Slice index 62 | Image size 240x240
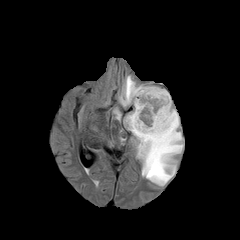
FLAIR MR.
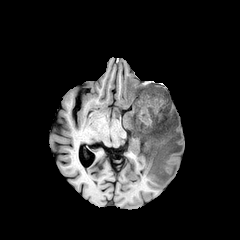
T1-weighted MR image of the same slice.
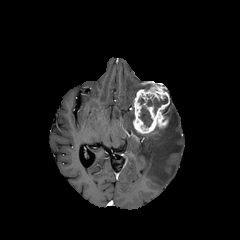
Post-contrast T1-weighted magnetic resonance of the same slice.
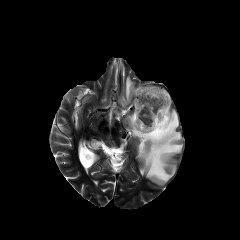
T2-weighted MR.
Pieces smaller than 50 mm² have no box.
enhancing tumor = left=132, top=83, right=170, bottom=134
necrotic tumor core = left=139, top=107, right=152, bottom=126; left=147, top=97, right=167, bottom=113
peritumoral edema = left=119, top=76, right=147, bottom=106; left=124, top=101, right=183, bottom=185